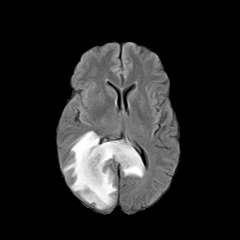
FLAIR MR image.
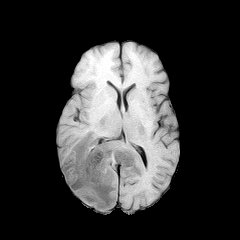
Same slice, T1-weighted MR image.
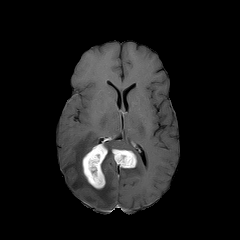
Post-contrast T1-weighted MR.
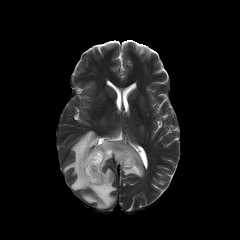
T2-weighted MR image of the same slice.
Brain.
Findings:
• necrotic tumor core: [88, 153, 100, 180], [118, 154, 133, 165]
• enhancing tumor: [82, 143, 107, 189], [112, 149, 137, 168]
• peritumoral edema: [63, 131, 144, 209]